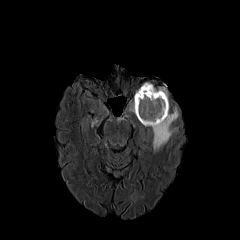
FLAIR MR image.
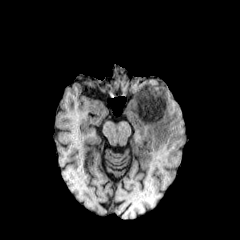
T1-weighted MR.
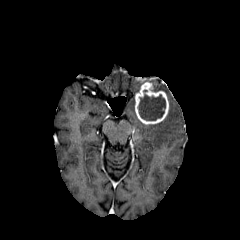
Same slice, post-contrast T1-weighted MR image.
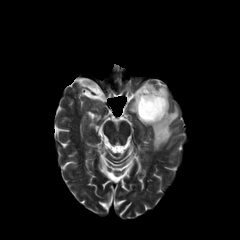
Same slice, T2-weighted magnetic resonance.
Brain. Image size 240x240.
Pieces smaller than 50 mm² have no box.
The enhancing tumor is located at {"x1": 135, "y1": 82, "x2": 168, "y2": 124}. The 3 largest peritumoral edema regions appear at {"x1": 154, "y1": 87, "x2": 168, "y2": 97}, {"x1": 129, "y1": 97, "x2": 134, "y2": 112}, {"x1": 143, "y1": 106, "x2": 179, "y2": 150}. The largest necrotic tumor core region appears at {"x1": 138, "y1": 94, "x2": 165, "y2": 120}.